FLAIR magnetic resonance.
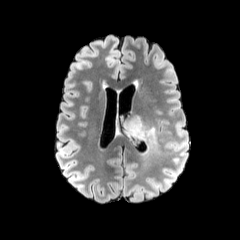
T1-weighted MR image.
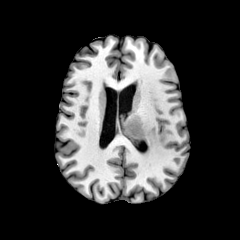
Post-contrast T1-weighted MR image.
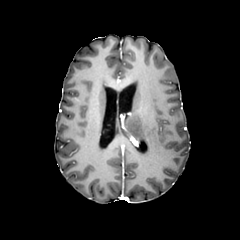
T2-weighted MRI.
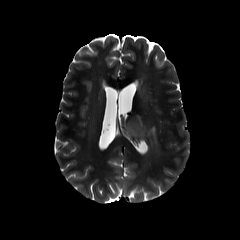
Axial plane
* peritumoral edema: (123, 115, 159, 155)